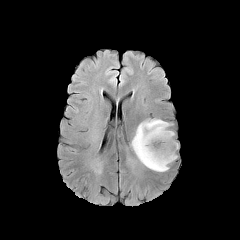
FLAIR MRI.
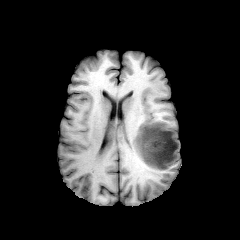
Same slice, T1-weighted MR image.
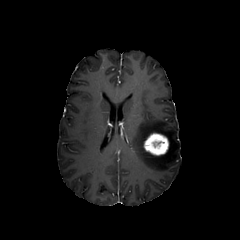
Post-contrast T1-weighted MRI.
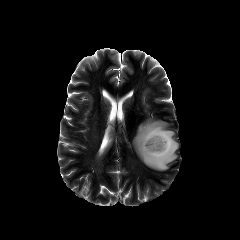
T2-weighted MR.
Head
<segmentation>
  <peritumoral_edema><bbox>132, 119, 178, 171</bbox></peritumoral_edema>
  <enhancing_tumor><bbox>143, 133, 169, 155</bbox></enhancing_tumor>
</segmentation>